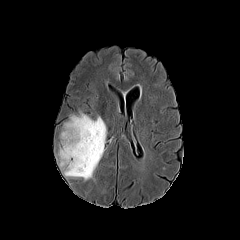
FLAIR MRI.
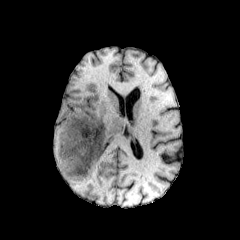
Same slice, T1-weighted magnetic resonance.
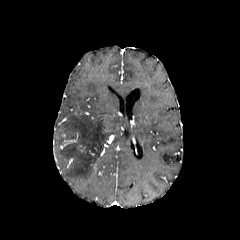
Post-contrast T1-weighted MRI of the same slice.
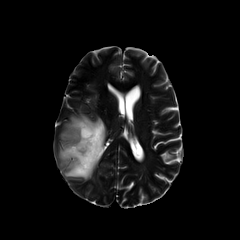
T2-weighted MR image of the same slice.
Brain
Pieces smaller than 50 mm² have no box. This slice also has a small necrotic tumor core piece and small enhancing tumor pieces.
peritumoral edema: [59, 114, 106, 180]